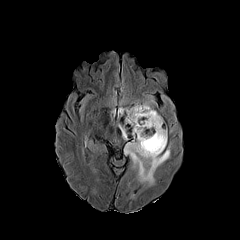
FLAIR MRI.
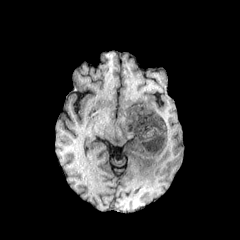
T1-weighted MR.
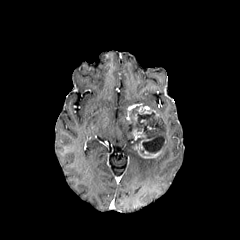
Post-contrast T1-weighted magnetic resonance.
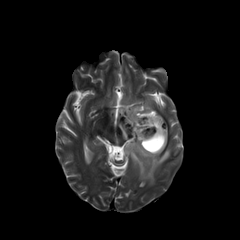
T2-weighted MR image of the same slice.
240x240, Head
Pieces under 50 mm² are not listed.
enhancing tumor at box=[132, 129, 163, 158]; box=[126, 104, 159, 123]
peritumoral edema at box=[88, 139, 95, 151]; box=[124, 142, 171, 190]; box=[119, 124, 127, 140]
necrotic tumor core at box=[129, 106, 165, 153]